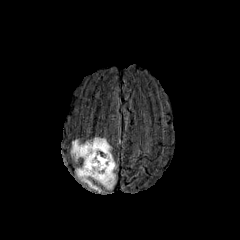
FLAIR magnetic resonance.
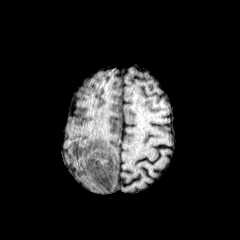
T1-weighted MRI.
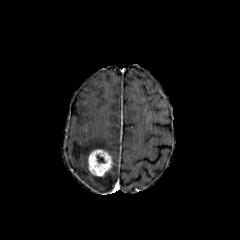
Same slice, post-contrast T1-weighted MR.
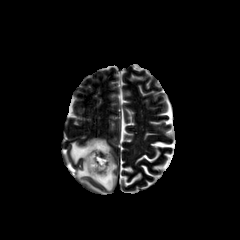
T2-weighted MRI of the same slice.
240x240. Head.
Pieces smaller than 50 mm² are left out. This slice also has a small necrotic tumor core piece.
The enhancing tumor appears at region(88, 149, 113, 176). The peritumoral edema is bounded by region(71, 137, 116, 191).